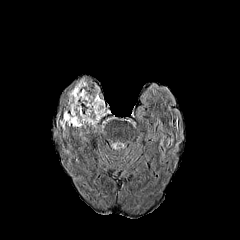
FLAIR magnetic resonance.
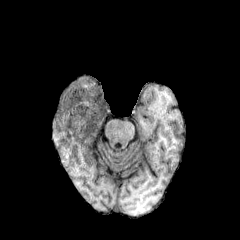
Same slice, T1-weighted MR.
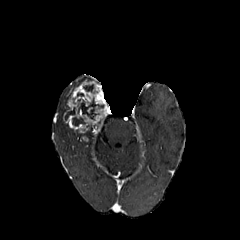
Same slice, post-contrast T1-weighted MRI.
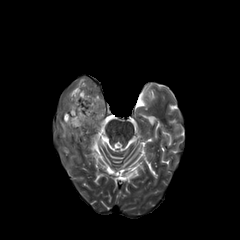
T2-weighted MRI.
Brain. Image size 240x240.
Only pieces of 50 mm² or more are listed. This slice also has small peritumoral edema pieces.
<segmentation>
  <enhancing_tumor>(63, 80, 109, 133)</enhancing_tumor>
  <necrotic_tumor_core>(83, 84, 93, 91), (78, 98, 103, 119), (72, 117, 85, 125), (65, 107, 75, 119)</necrotic_tumor_core>
</segmentation>